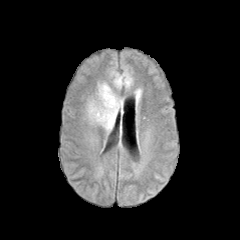
FLAIR MR.
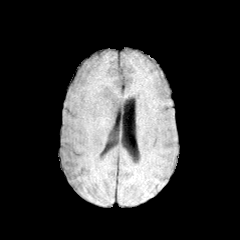
T1-weighted MRI.
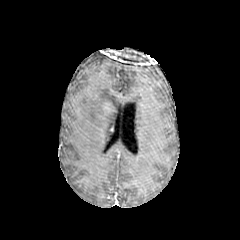
Post-contrast T1-weighted MRI.
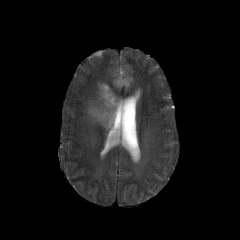
T2-weighted MR image of the same slice.
Head; Axial plane
Segmented structures:
• peritumoral edema: box=[111, 70, 132, 88]; box=[86, 82, 123, 131]
• enhancing tumor: box=[102, 102, 113, 112]